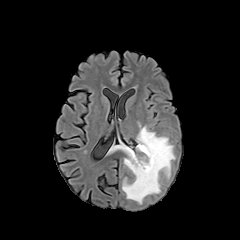
FLAIR magnetic resonance.
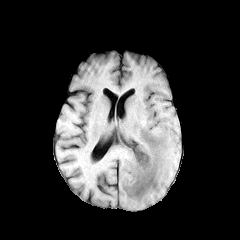
T1-weighted MR.
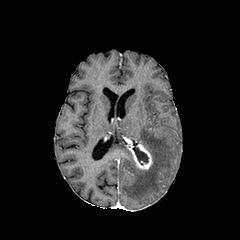
Post-contrast T1-weighted MRI.
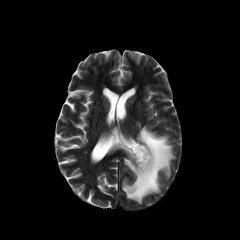
T2-weighted MR image.
240x240 px
The necrotic tumor core is at l=132, t=147, r=148, b=164. The peritumoral edema is bounded by l=112, t=124, r=175, b=203. The enhancing tumor is located at l=128, t=144, r=152, b=169.